FLAIR magnetic resonance.
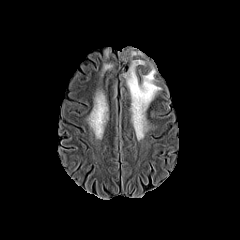
T1-weighted MR image.
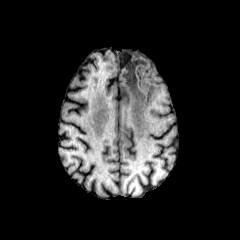
Post-contrast T1-weighted MRI.
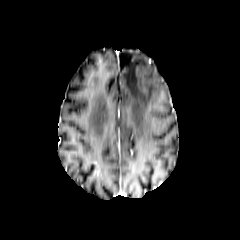
T2-weighted MR.
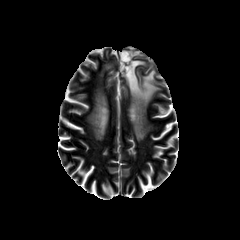
Axial plane
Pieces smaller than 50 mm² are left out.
<segmentation>
  <peritumoral_edema>bbox(89, 93, 106, 130); bbox(121, 51, 160, 139)</peritumoral_edema>
</segmentation>